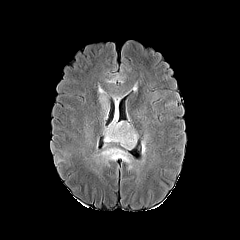
FLAIR MR image.
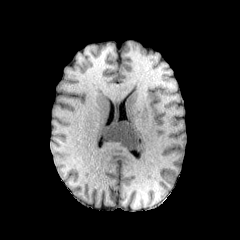
T1-weighted MR.
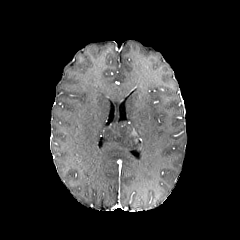
Post-contrast T1-weighted magnetic resonance of the same slice.
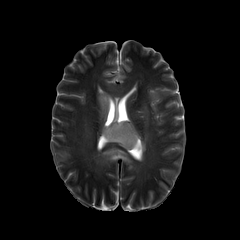
T2-weighted MR image.
240x240 px | Axial view
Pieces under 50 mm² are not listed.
peritumoral edema at <box>141,135,147,154</box>, <box>98,86,108,119</box>, <box>103,95,138,149</box>, <box>99,147,133,168</box>
enhancing tumor at <box>113,133,121,139</box>